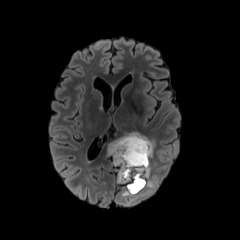
FLAIR magnetic resonance.
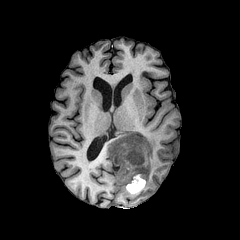
T1-weighted magnetic resonance.
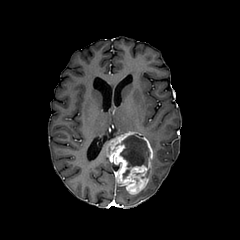
Same slice, post-contrast T1-weighted MR.
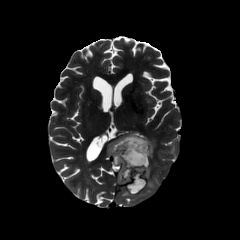
T2-weighted MR of the same slice.
Axial view
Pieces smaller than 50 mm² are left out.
Segmented structures:
• peritumoral edema: (145,177,157,189)
• necrotic tumor core: (120,135,149,167)
• enhancing tumor: (107,131,153,194)